FLAIR MR.
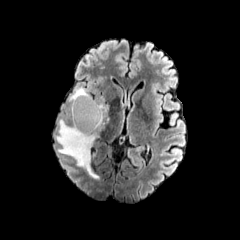
T1-weighted MR.
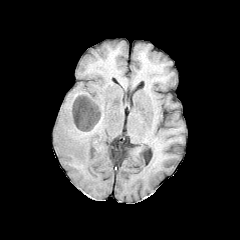
Post-contrast T1-weighted magnetic resonance.
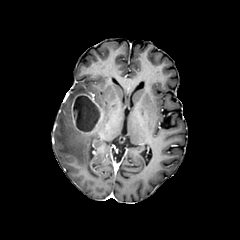
T2-weighted MRI.
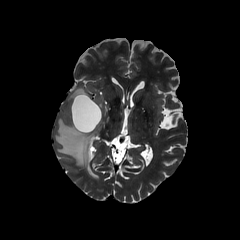
Axial plane, Brain, 240x240
peritumoral_edema:
  - region(56, 87, 109, 179)
enhancing_tumor:
  - region(71, 94, 102, 133)
necrotic_tumor_core:
  - region(73, 95, 99, 131)